FLAIR magnetic resonance.
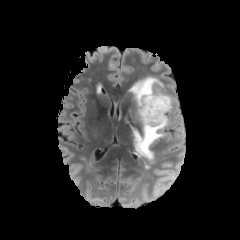
T1-weighted magnetic resonance.
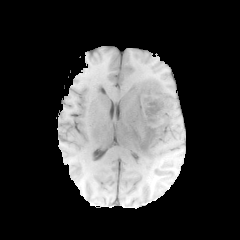
Post-contrast T1-weighted magnetic resonance.
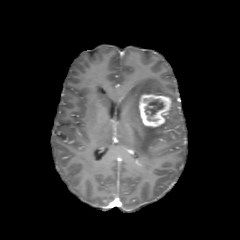
T2-weighted MR.
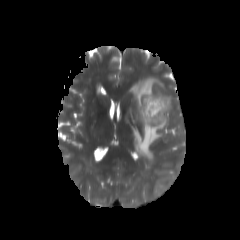
Brain
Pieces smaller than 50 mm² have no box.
<segmentation>
  <necrotic_tumor_core>region(145, 99, 164, 115)</necrotic_tumor_core>
  <peritumoral_edema>region(132, 116, 168, 162); region(129, 77, 173, 121)</peritumoral_edema>
  <enhancing_tumor>region(139, 94, 171, 127)</enhancing_tumor>
</segmentation>